Brain, Axial plane, Image size 240x240
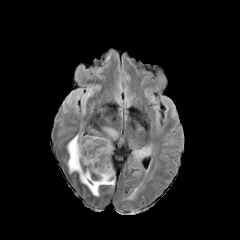
FLAIR magnetic resonance.
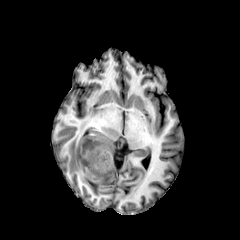
T1-weighted magnetic resonance.
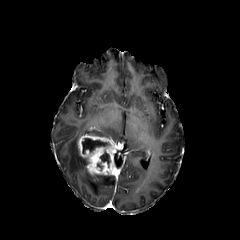
Same slice, post-contrast T1-weighted magnetic resonance.
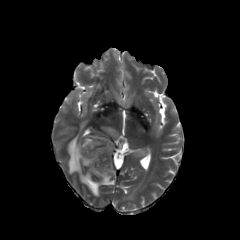
T2-weighted magnetic resonance.
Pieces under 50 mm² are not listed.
<segmentation>
  <enhancing_tumor>(78,135,115,175)</enhancing_tumor>
  <peritumoral_edema>(68,135,114,196), (105,127,118,138), (135,150,146,157)</peritumoral_edema>
  <necrotic_tumor_core>(100,152,110,164), (82,138,107,153)</necrotic_tumor_core>
</segmentation>